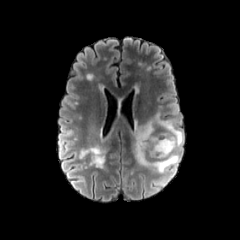
FLAIR MR image.
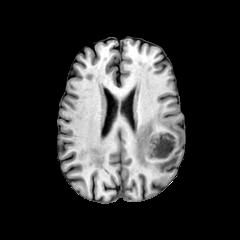
T1-weighted MRI of the same slice.
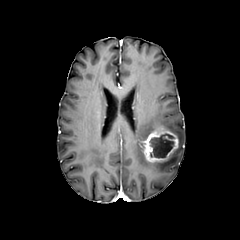
Post-contrast T1-weighted MRI of the same slice.
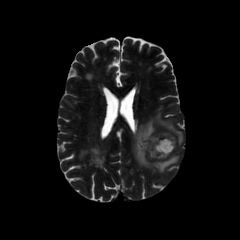
T2-weighted MR.
Brain. Axial view.
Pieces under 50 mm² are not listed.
peritumoral edema — (133, 112, 183, 172)
enhancing tumor — (143, 130, 178, 161)
necrotic tumor core — (149, 133, 174, 157)